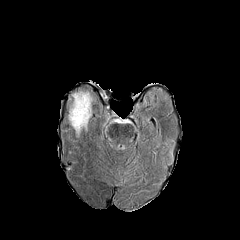
FLAIR MRI.
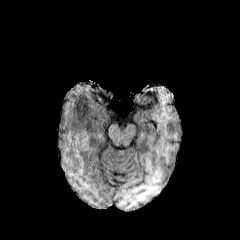
Same slice, T1-weighted MR image.
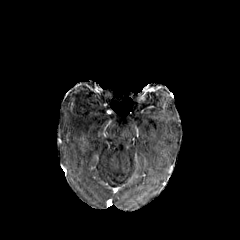
Same slice, post-contrast T1-weighted MRI.
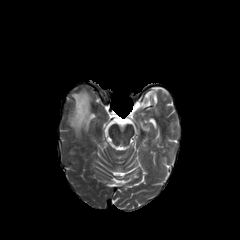
T2-weighted MRI of the same slice.
240x240; Head
Findings:
* peritumoral edema: 70, 92, 91, 131